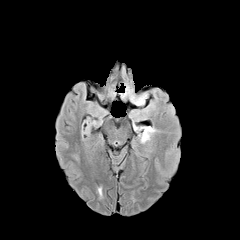
FLAIR magnetic resonance.
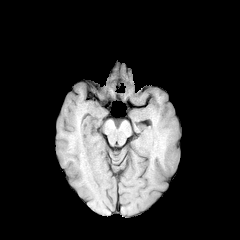
T1-weighted MRI of the same slice.
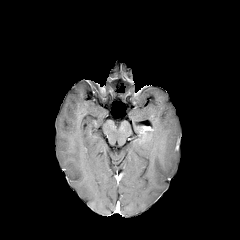
Post-contrast T1-weighted magnetic resonance of the same slice.
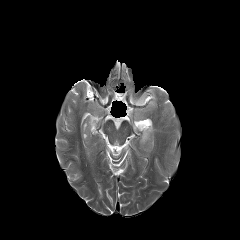
T2-weighted MRI of the same slice.
Head; 240x240
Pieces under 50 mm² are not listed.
• enhancing tumor: bbox(142, 127, 152, 140)
• peritumoral edema: bbox(132, 95, 145, 104); bbox(139, 127, 156, 152)